FLAIR MR.
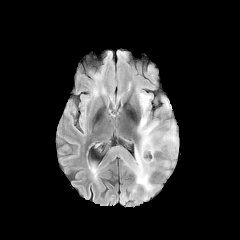
T1-weighted MRI.
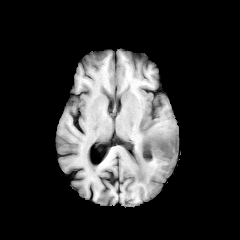
Post-contrast T1-weighted MR.
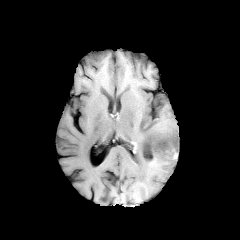
T2-weighted MR.
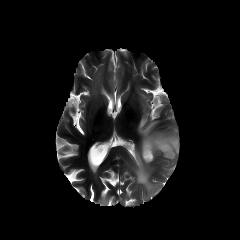
Axial view
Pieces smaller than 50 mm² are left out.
Annotated regions:
• peritumoral edema: box=[129, 101, 178, 191]
• enhancing tumor: box=[142, 141, 176, 159]
• necrotic tumor core: box=[160, 142, 174, 155]; box=[145, 146, 150, 156]